FLAIR MR.
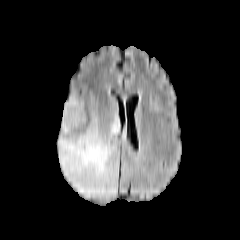
T1-weighted MR image.
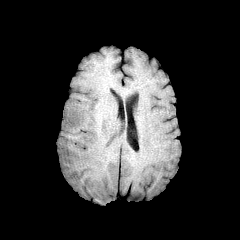
Post-contrast T1-weighted MR image.
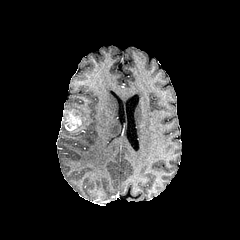
T2-weighted MR.
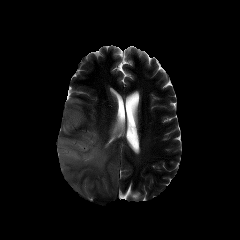
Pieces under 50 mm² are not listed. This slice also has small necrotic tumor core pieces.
peritumoral edema: box=[57, 114, 119, 198]; box=[64, 97, 85, 116] | enhancing tumor: box=[62, 105, 85, 131]